Slice index 80, 240x240 px
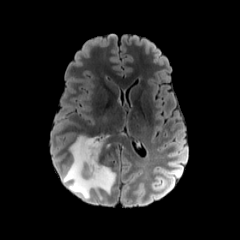
FLAIR magnetic resonance.
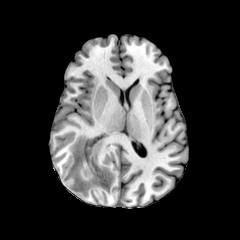
T1-weighted MR.
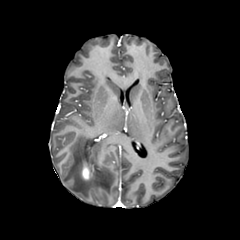
Same slice, post-contrast T1-weighted MR image.
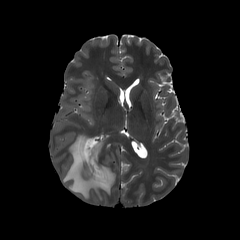
T2-weighted magnetic resonance of the same slice.
enhancing tumor: x1=81, y1=165, x2=93, y2=179
peritumoral edema: x1=63, y1=134, x2=115, y2=199